Axial slice, Slice 48 of 155, 240x240 px, Head
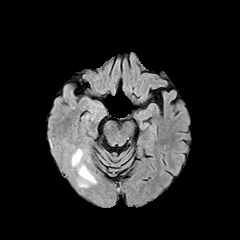
FLAIR MR image.
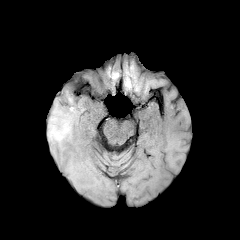
T1-weighted MR image.
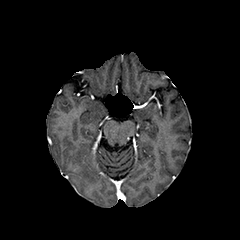
Post-contrast T1-weighted MR.
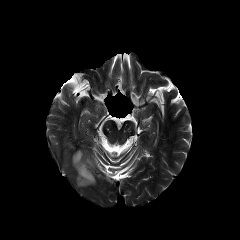
Same slice, T2-weighted MRI.
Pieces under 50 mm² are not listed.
The largest peritumoral edema region is bounded by 72,149,95,186.